Axial plane, Head, Slice 81 of 155, 240x240 px
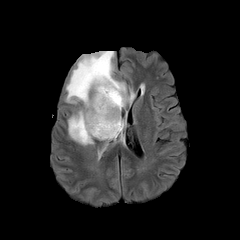
FLAIR magnetic resonance.
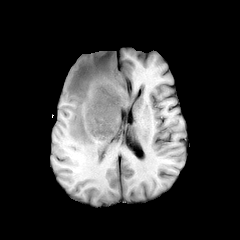
T1-weighted MR image.
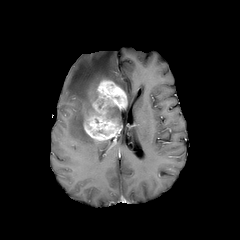
Post-contrast T1-weighted MR of the same slice.
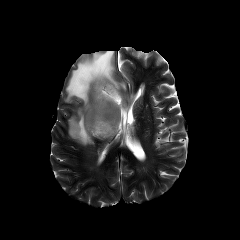
T2-weighted MRI of the same slice.
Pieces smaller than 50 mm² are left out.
The largest necrotic tumor core region appears at (left=109, top=107, right=117, bottom=117). The enhancing tumor is at (left=83, top=79, right=127, bottom=140). The peritumoral edema is bounded by (left=65, top=51, right=126, bottom=145).